Slice 98/155 | Axial plane | Image width 240 mm, 1.00 mm slice spacing | Image size 240x240
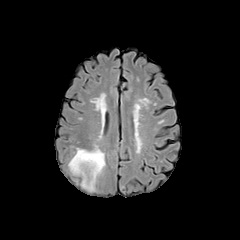
FLAIR MRI.
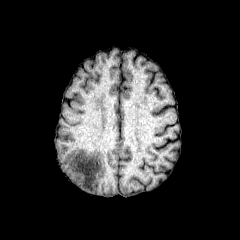
T1-weighted MRI of the same slice.
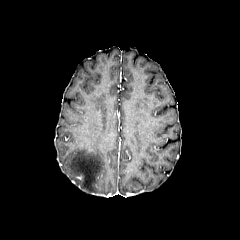
Same slice, post-contrast T1-weighted MR.
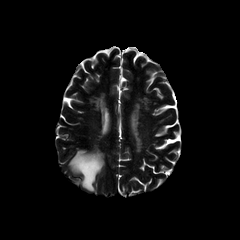
T2-weighted MR image.
The peritumoral edema lies within x1=68 y1=146 x2=105 y2=191.